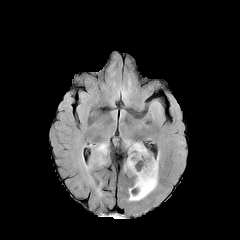
FLAIR MR image.
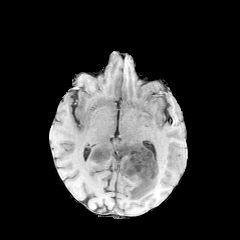
T1-weighted magnetic resonance.
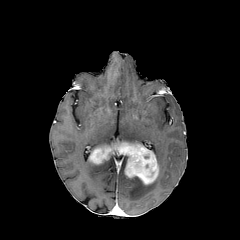
Same slice, post-contrast T1-weighted magnetic resonance.
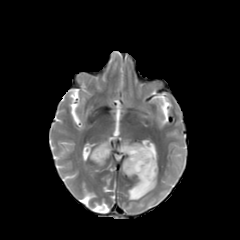
Same slice, T2-weighted MR image.
Axial view. Head.
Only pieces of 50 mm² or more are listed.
Segmented structures:
- peritumoral edema: (left=128, top=177, right=157, bottom=200)
- enhancing tumor: (left=89, top=142, right=158, bottom=184)